FLAIR magnetic resonance.
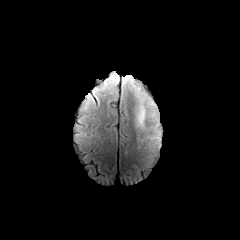
T1-weighted MR image.
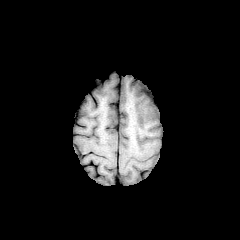
Post-contrast T1-weighted magnetic resonance.
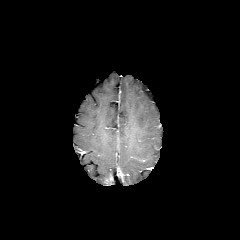
T2-weighted MRI.
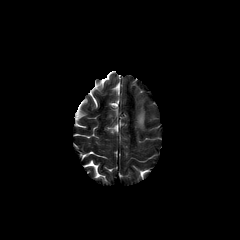
Brain | Axial view
peritumoral edema: bbox(137, 99, 145, 127)